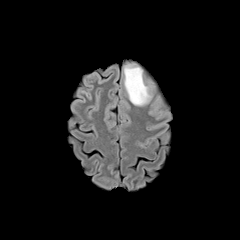
FLAIR MR image.
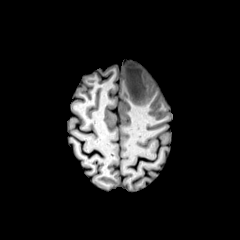
T1-weighted MR.
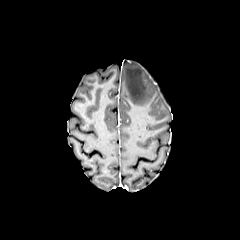
Same slice, post-contrast T1-weighted MR image.
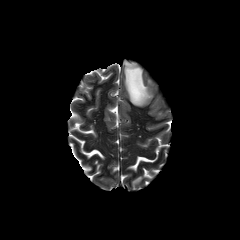
T2-weighted MR.
Image size 240x240 | Axial plane
The peritumoral edema is bounded by box=[124, 64, 151, 105].